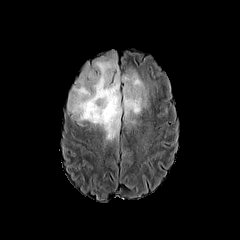
FLAIR magnetic resonance.
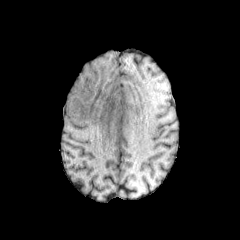
Same slice, T1-weighted MRI.
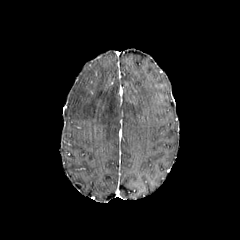
Post-contrast T1-weighted MR.
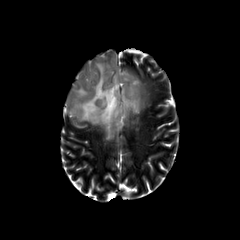
T2-weighted MR.
Head
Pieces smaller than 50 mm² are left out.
The largest peritumoral edema region is bounded by rect(67, 51, 148, 140).